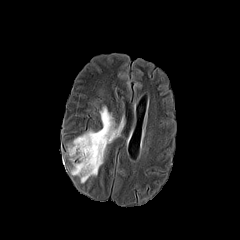
FLAIR magnetic resonance.
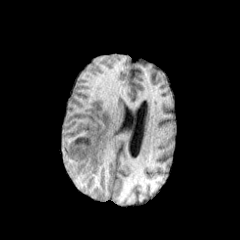
Same slice, T1-weighted MR.
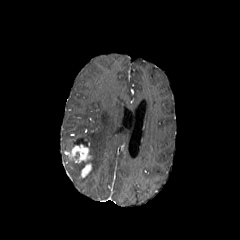
Post-contrast T1-weighted MR.
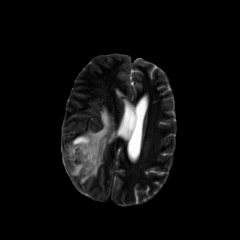
Same slice, T2-weighted MR.
240x240 px
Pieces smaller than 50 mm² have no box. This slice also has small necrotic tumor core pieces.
The peritumoral edema is bounded by region(65, 105, 125, 183). The 2 largest enhancing tumor regions are located at region(67, 144, 91, 162); region(81, 163, 91, 177).